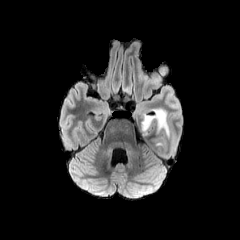
FLAIR MRI.
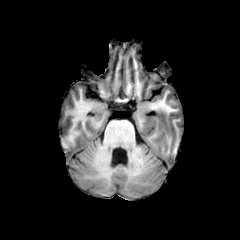
T1-weighted MR image.
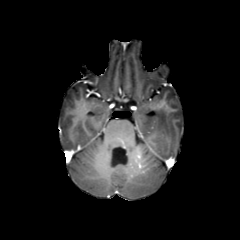
Post-contrast T1-weighted MR image.
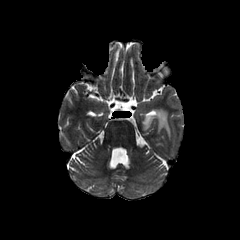
T2-weighted MR of the same slice.
Brain, Axial slice
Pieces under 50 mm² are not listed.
peritumoral edema: [140,107,170,136]